Axial view, Head
FLAIR magnetic resonance.
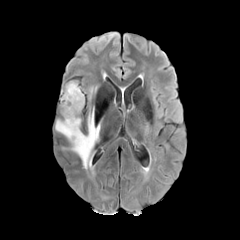
T1-weighted MRI.
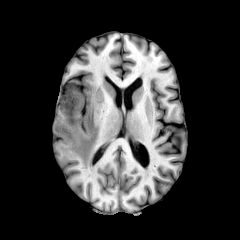
Post-contrast T1-weighted MR.
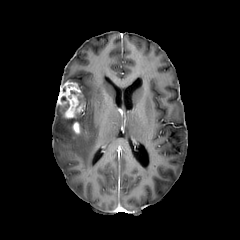
T2-weighted MRI.
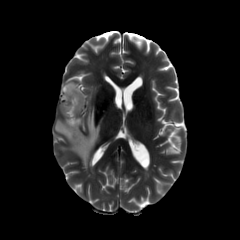
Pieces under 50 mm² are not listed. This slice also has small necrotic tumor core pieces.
{
  "enhancing_tumor": [
    "x1=72 y1=122 x2=79 y2=133",
    "x1=58 y1=82 x2=82 y2=118"
  ],
  "peritumoral_edema": [
    "x1=88 y1=87 x2=96 y2=100",
    "x1=78 y1=93 x2=84 y2=106",
    "x1=55 y1=108 x2=100 y2=174"
  ]
}